Head. Axial view. Image width 240 mm.
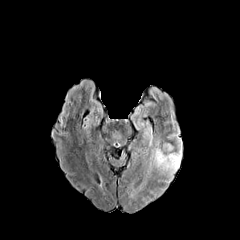
FLAIR MR image.
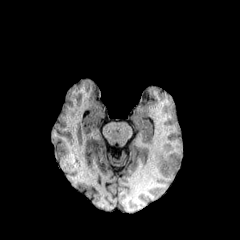
T1-weighted MR image.
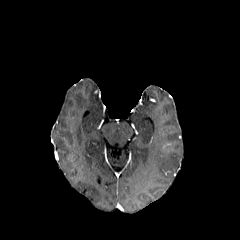
Same slice, post-contrast T1-weighted MR image.
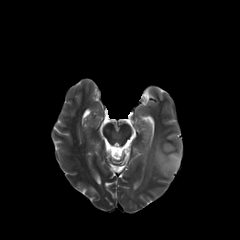
T2-weighted MR.
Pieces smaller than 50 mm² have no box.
{
  "peritumoral_edema": [
    "[150,139,181,174]"
  ]
}